Image width 240 mm, 240x240, Head
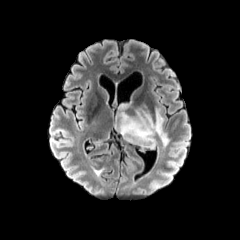
FLAIR MR.
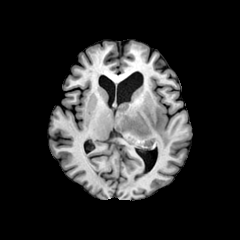
T1-weighted MR image.
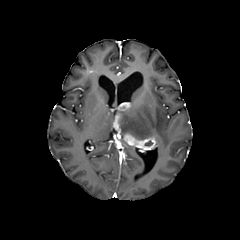
Post-contrast T1-weighted magnetic resonance.
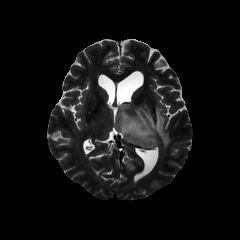
T2-weighted MR.
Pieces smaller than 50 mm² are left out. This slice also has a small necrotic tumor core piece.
• enhancing tumor: x1=113, y1=113, x2=120, y2=132; x1=124, y1=133, x2=156, y2=150; x1=118, y1=102, x2=130, y2=110
• peritumoral edema: x1=117, y1=107, x2=169, y2=147